240x240 px
FLAIR magnetic resonance.
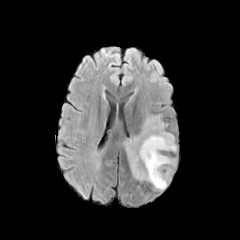
T1-weighted MR.
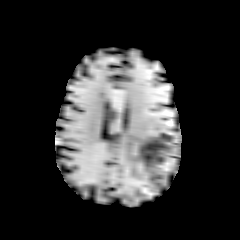
Post-contrast T1-weighted MR image.
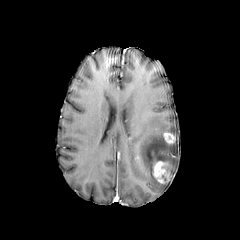
T2-weighted magnetic resonance.
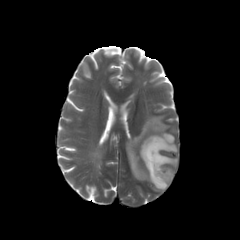
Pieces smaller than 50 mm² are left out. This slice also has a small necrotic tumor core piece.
peritumoral edema: bounding box 125:116:177:190
enhancing tumor: bounding box 153:161:171:183, 163:132:174:143